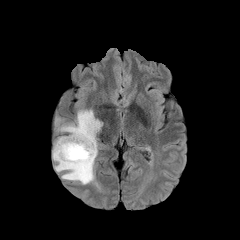
FLAIR MRI.
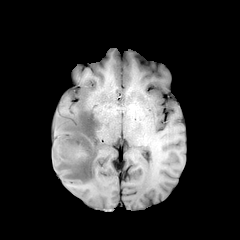
Same slice, T1-weighted MR image.
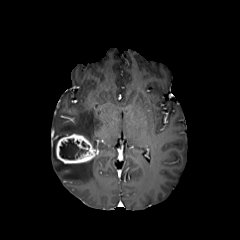
Post-contrast T1-weighted MR.
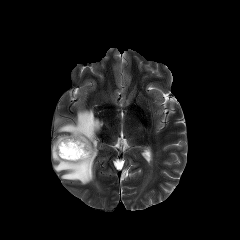
T2-weighted MRI of the same slice.
Image size 240x240
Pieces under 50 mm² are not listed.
{
  "necrotic_tumor_core": [
    "[59,139,87,159]"
  ],
  "enhancing_tumor": [
    "[56,133,98,163]"
  ],
  "peritumoral_edema": [
    "[52,137,95,184]",
    "[55,109,102,148]"
  ]
}